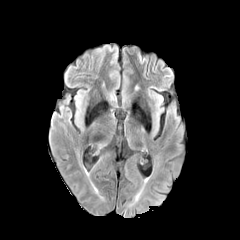
FLAIR magnetic resonance.
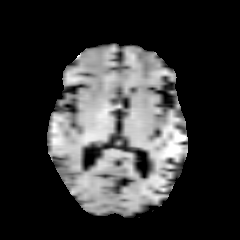
T1-weighted MRI of the same slice.
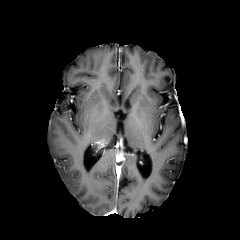
Post-contrast T1-weighted MR image of the same slice.
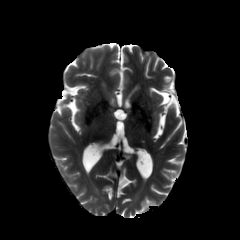
T2-weighted MR of the same slice.
Head, Image size 240x240
{
  "enhancing_tumor": [
    "box(95, 139, 109, 149)"
  ]
}